Slice 88 of 155. Image size 240x240.
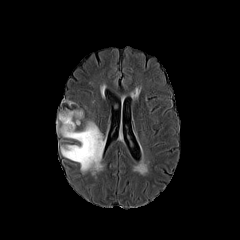
FLAIR MRI.
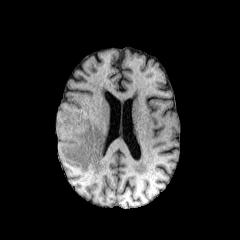
T1-weighted MR of the same slice.
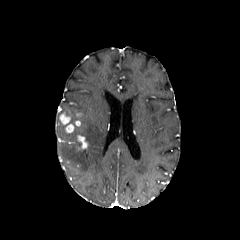
Post-contrast T1-weighted magnetic resonance.
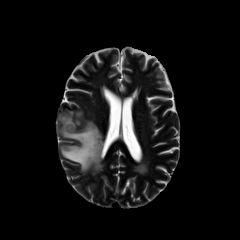
T2-weighted magnetic resonance of the same slice.
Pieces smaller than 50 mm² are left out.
The 3 largest enhancing tumor regions are located at <bbox>65, 123, 74, 132</bbox>, <bbox>77, 135, 88, 149</bbox>, <bbox>59, 112, 71, 124</bbox>. The peritumoral edema appears at <bbox>57, 110, 105, 174</bbox>.